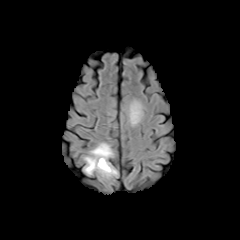
FLAIR MR image.
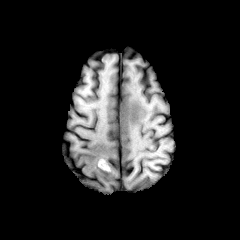
Same slice, T1-weighted magnetic resonance.
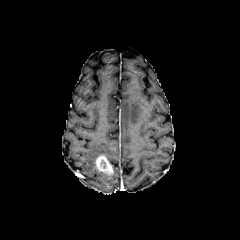
Same slice, post-contrast T1-weighted MRI.
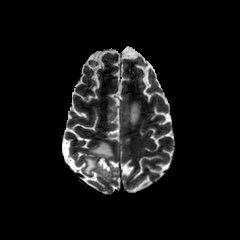
Same slice, T2-weighted magnetic resonance.
Image size 240x240. Brain.
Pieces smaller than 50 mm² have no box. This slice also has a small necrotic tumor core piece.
2 peritumoral edema regions are located at box(129, 101, 140, 125); box(84, 143, 117, 177). The enhancing tumor appears at box(95, 155, 113, 175).